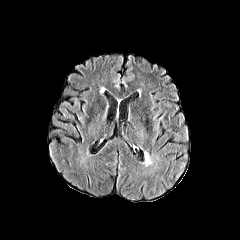
FLAIR magnetic resonance.
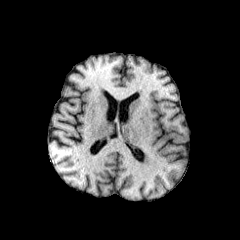
Same slice, T1-weighted MR.
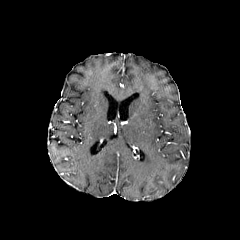
Post-contrast T1-weighted MR image of the same slice.
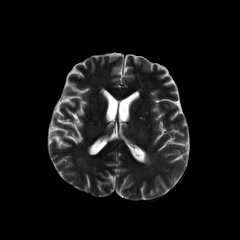
T2-weighted MR of the same slice.
Axial view
The peritumoral edema lies within (142, 149, 151, 166).